Head
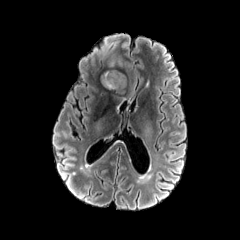
FLAIR MR image.
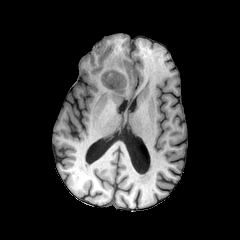
T1-weighted MR.
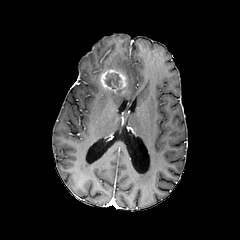
Post-contrast T1-weighted MRI of the same slice.
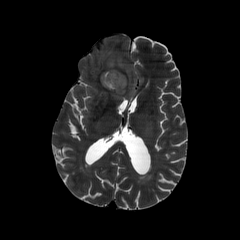
T2-weighted MR image.
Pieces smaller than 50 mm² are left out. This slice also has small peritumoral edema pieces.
necrotic tumor core at left=105, top=74, right=119, bottom=88
enhancing tumor at left=100, top=69, right=126, bottom=91